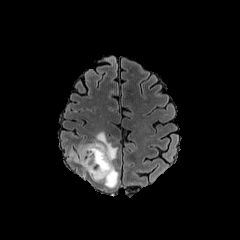
FLAIR MR image.
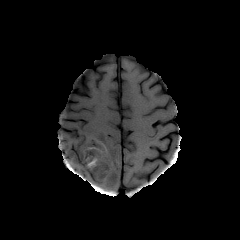
Same slice, T1-weighted MR image.
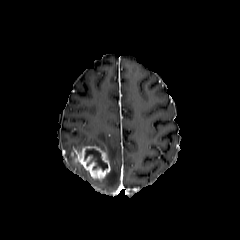
Post-contrast T1-weighted magnetic resonance.
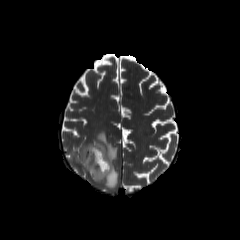
T2-weighted magnetic resonance.
Brain; 240x240
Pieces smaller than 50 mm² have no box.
peritumoral_edema:
  - left=74, top=131, right=118, bottom=187
necrotic_tumor_core:
  - left=84, top=148, right=107, bottom=169
enhancing_tumor:
  - left=71, top=146, right=110, bottom=180